Slice 91 of 155 | Image width 240 mm | Axial slice | 240x240 px | Brain
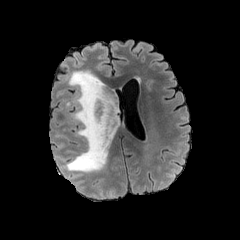
FLAIR magnetic resonance.
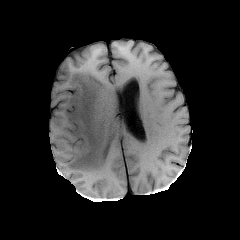
T1-weighted MRI.
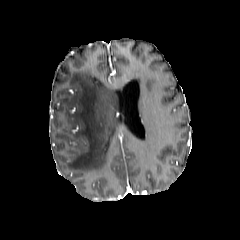
Same slice, post-contrast T1-weighted magnetic resonance.
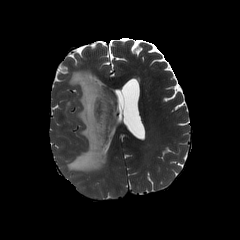
Same slice, T2-weighted MR image.
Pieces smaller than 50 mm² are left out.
The largest peritumoral edema region is at box(65, 70, 119, 172).